Image width 240 mm, 1.00 mm slice spacing | Axial slice | Head
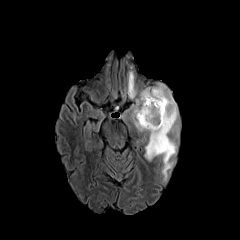
FLAIR MR image.
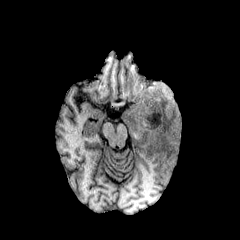
T1-weighted MR.
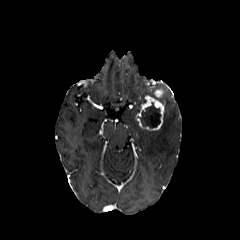
Post-contrast T1-weighted MR of the same slice.
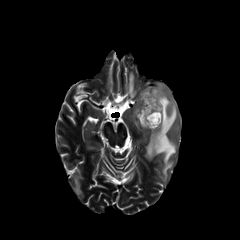
T2-weighted MR image.
{"necrotic_tumor_core": ["(140, 102, 160, 127)"], "enhancing_tumor": ["(136, 88, 165, 130)"], "peritumoral_edema": ["(131, 83, 178, 180)", "(127, 71, 136, 98)"]}